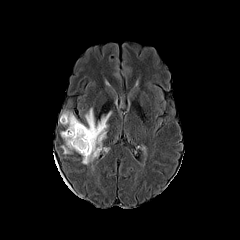
FLAIR MRI.
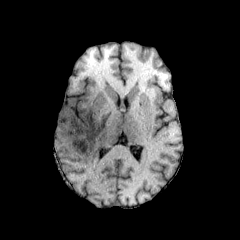
T1-weighted magnetic resonance.
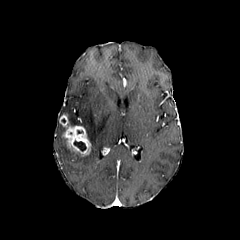
Post-contrast T1-weighted MR image.
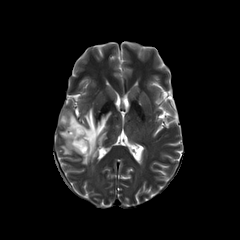
Same slice, T2-weighted MR.
Brain. Image size 240x240.
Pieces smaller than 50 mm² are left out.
enhancing tumor: bounding box (59,114,91,156)
peritumoral edema: bounding box (61,108,111,164), (61,138,75,154)
necrotic tumor core: bounding box (73,141,86,151)